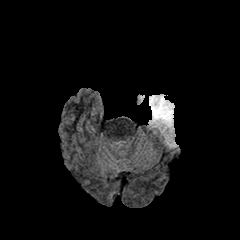
FLAIR magnetic resonance.
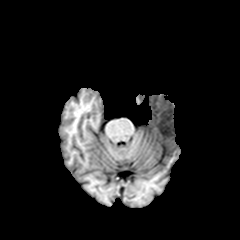
T1-weighted magnetic resonance.
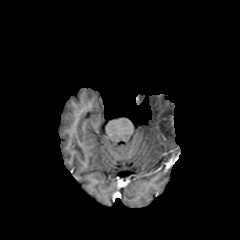
Same slice, post-contrast T1-weighted MR image.
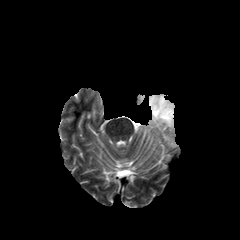
T2-weighted MRI.
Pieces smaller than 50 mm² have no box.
The largest peritumoral edema region is bounded by box=[148, 94, 177, 147].